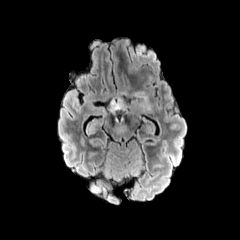
FLAIR MR.
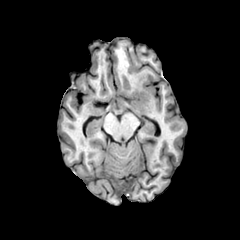
T1-weighted MR image.
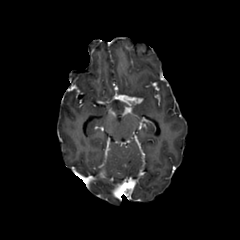
Post-contrast T1-weighted MR image.
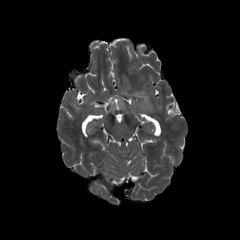
T2-weighted MR.
Brain
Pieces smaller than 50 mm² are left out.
The largest enhancing tumor region is bounded by {"x1": 115, "y1": 95, "x2": 143, "y2": 105}. The 2 largest peritumoral edema regions are bounded by {"x1": 135, "y1": 91, "x2": 150, "y2": 110}, {"x1": 111, "y1": 98, "x2": 124, "y2": 109}.